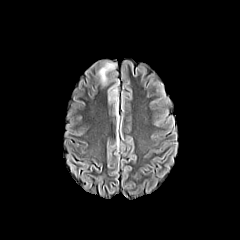
FLAIR MR.
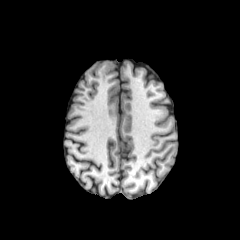
Same slice, T1-weighted magnetic resonance.
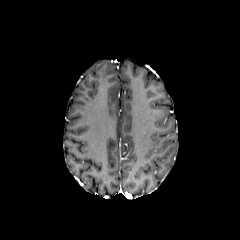
Same slice, post-contrast T1-weighted MRI.
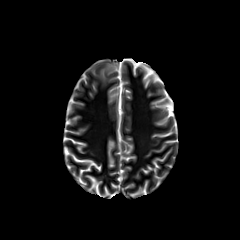
Same slice, T2-weighted MR image.
Head.
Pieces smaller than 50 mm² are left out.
peritumoral edema — x1=99 y1=62 x2=115 y2=84